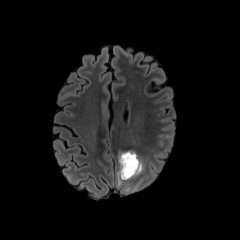
FLAIR MRI.
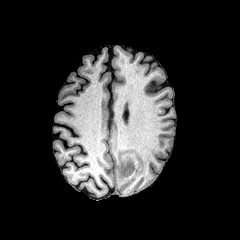
T1-weighted magnetic resonance.
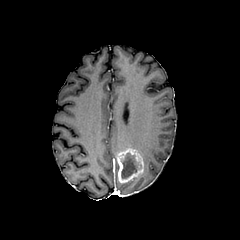
Post-contrast T1-weighted MRI of the same slice.
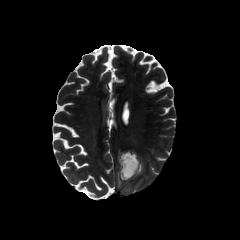
Same slice, T2-weighted MR image.
Axial view
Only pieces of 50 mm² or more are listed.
The largest peritumoral edema region appears at left=116, top=170, right=128, bottom=187. The enhancing tumor lies within left=117, top=149, right=143, bottom=183. The necrotic tumor core is at left=121, top=153, right=136, bottom=178.